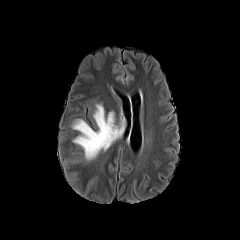
FLAIR MRI.
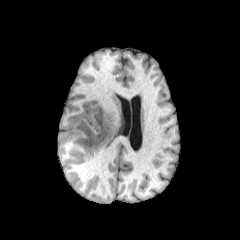
T1-weighted MR.
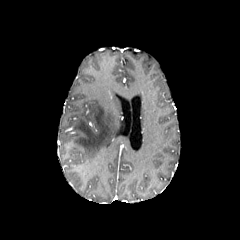
Same slice, post-contrast T1-weighted MRI.
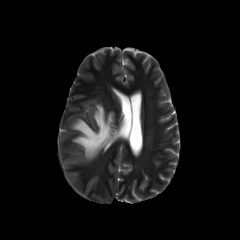
Same slice, T2-weighted MRI.
Brain; Axial view; 240x240 px
peritumoral edema: x1=73, y1=102, x2=125, y2=160